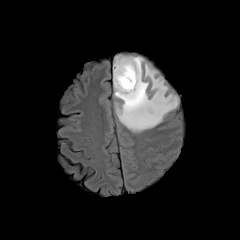
FLAIR MR image.
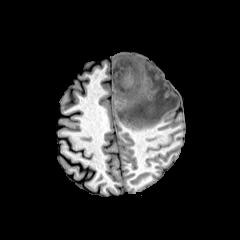
T1-weighted magnetic resonance of the same slice.
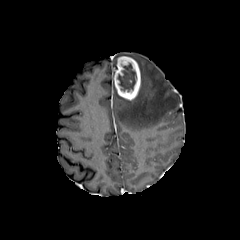
Post-contrast T1-weighted MRI.
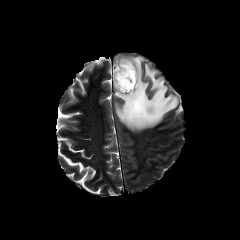
T2-weighted magnetic resonance of the same slice.
Image size 240x240
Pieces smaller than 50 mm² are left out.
<segmentation>
  <enhancing_tumor>rect(113, 56, 140, 100)</enhancing_tumor>
  <peritumoral_edema>rect(113, 55, 124, 77); rect(114, 56, 178, 132)</peritumoral_edema>
  <necrotic_tumor_core>rect(117, 63, 136, 91)</necrotic_tumor_core>
</segmentation>